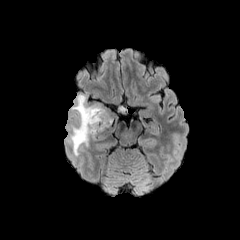
FLAIR MRI.
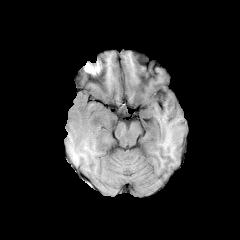
Same slice, T1-weighted MR image.
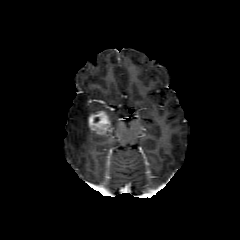
Post-contrast T1-weighted MRI of the same slice.
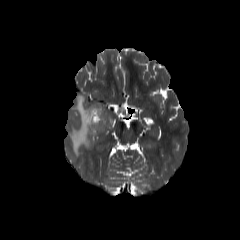
T2-weighted magnetic resonance.
Brain | 240x240 px | Axial slice
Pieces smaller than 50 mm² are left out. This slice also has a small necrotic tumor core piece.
enhancing_tumor:
  - [88,110,111,135]
peritumoral_edema:
  - [69,94,108,156]